Brain, Axial view
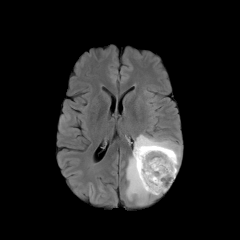
FLAIR MRI.
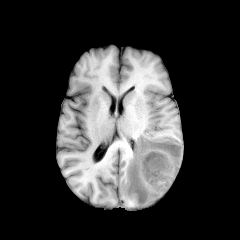
T1-weighted magnetic resonance of the same slice.
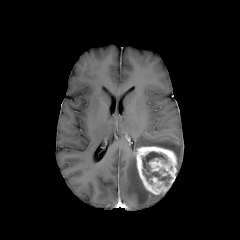
Post-contrast T1-weighted magnetic resonance of the same slice.
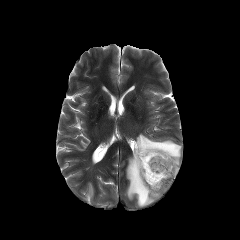
T2-weighted magnetic resonance of the same slice.
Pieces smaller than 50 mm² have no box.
The 2 largest necrotic tumor core regions are located at x1=142 y1=151 x2=166 y2=172, x1=142 y1=170 x2=171 y2=180. The enhancing tumor is located at x1=134 y1=146 x2=177 y2=195. The peritumoral edema is at x1=125 y1=134 x2=181 y2=207.